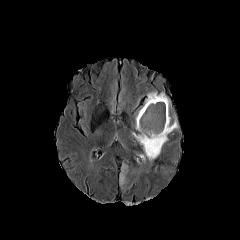
FLAIR magnetic resonance.
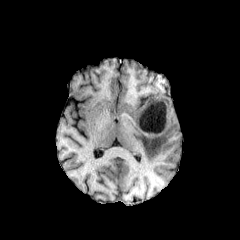
Same slice, T1-weighted MR.
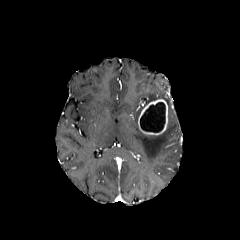
Same slice, post-contrast T1-weighted MR image.
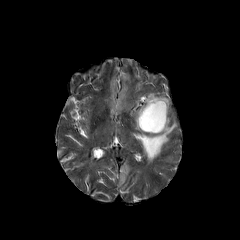
T2-weighted magnetic resonance of the same slice.
Head.
peritumoral edema: bounding box <bbox>120, 164, 127, 185</bbox>, <bbox>132, 91, 177, 161</bbox>
necrotic tumor core: bounding box <bbox>140, 102, 165, 132</bbox>
enhancing tumor: bounding box <bbox>138, 98, 167, 135</bbox>